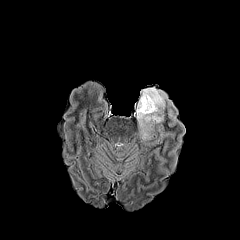
FLAIR MR image.
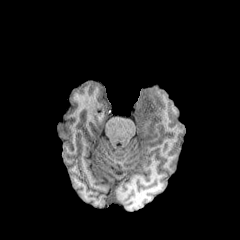
Same slice, T1-weighted magnetic resonance.
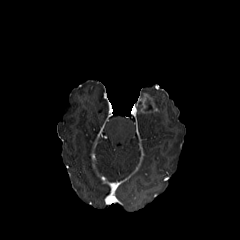
Post-contrast T1-weighted magnetic resonance.
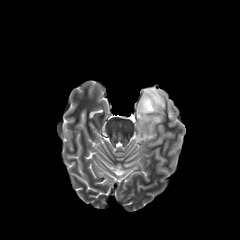
T2-weighted MRI.
The enhancing tumor is located at {"x1": 137, "y1": 93, "x2": 158, "y2": 113}. The peritumoral edema lies within {"x1": 136, "y1": 87, "x2": 167, "y2": 138}. The necrotic tumor core lies within {"x1": 144, "y1": 99, "x2": 152, "y2": 111}.